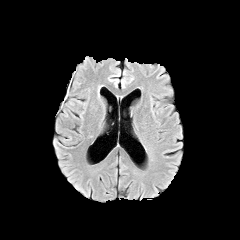
FLAIR MRI.
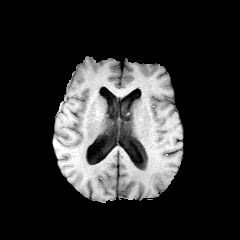
T1-weighted magnetic resonance.
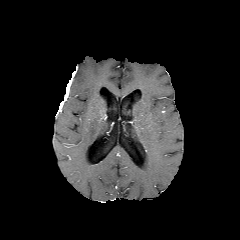
Post-contrast T1-weighted MRI.
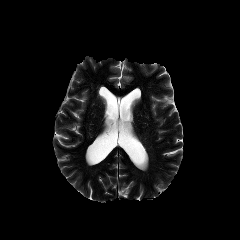
T2-weighted MR.
Head.
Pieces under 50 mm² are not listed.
The largest enhancing tumor region is at [x1=58, y1=78, x2=71, y2=111].